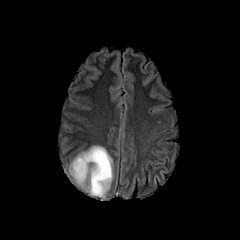
FLAIR MRI.
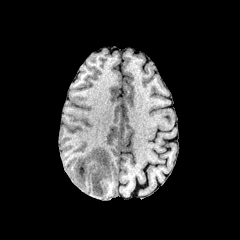
T1-weighted magnetic resonance.
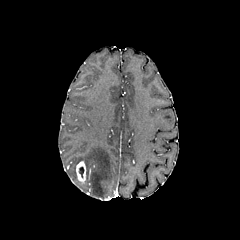
Same slice, post-contrast T1-weighted MR.
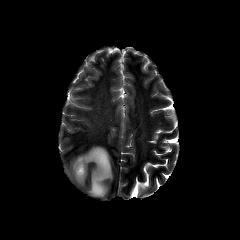
Same slice, T2-weighted MRI.
240x240 px | Head | Axial slice
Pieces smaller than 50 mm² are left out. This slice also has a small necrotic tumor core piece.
peritumoral edema = 69, 146, 112, 197
enhancing tumor = 76, 161, 86, 184